FLAIR MR image.
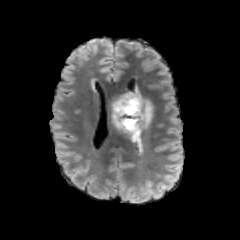
T1-weighted MRI.
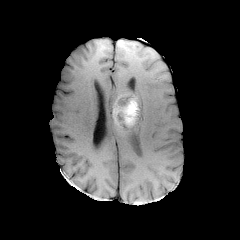
Post-contrast T1-weighted MR.
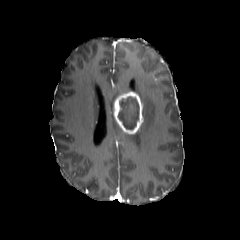
T2-weighted magnetic resonance.
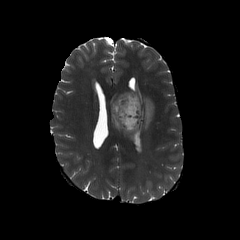
Brain | Axial plane
enhancing tumor at 114:92:143:134
peritumoral edema at 111:102:121:130, 122:89:153:145
necrotic tumor core at 118:96:139:129